Head, Slice index 75
FLAIR MR image.
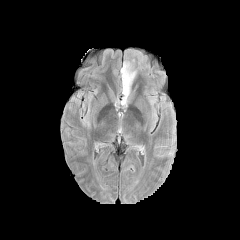
T1-weighted MR image.
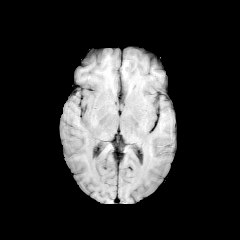
Post-contrast T1-weighted MR image.
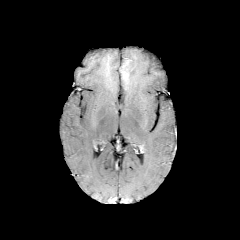
T2-weighted MR.
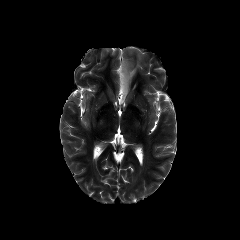
{
  "peritumoral_edema": [
    {"x1": 121, "y1": 61, "x2": 136, "y2": 99}
  ]
}